Axial slice. Slice 109 of 155. Image width 240 mm.
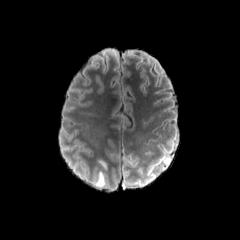
FLAIR MRI.
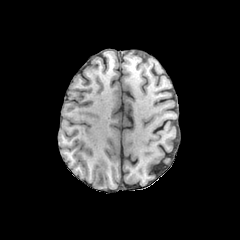
T1-weighted magnetic resonance.
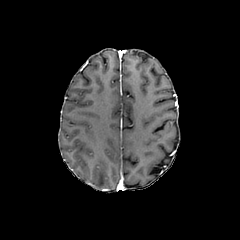
Post-contrast T1-weighted magnetic resonance.
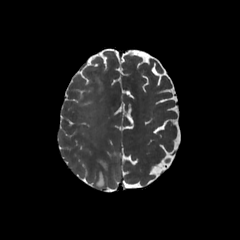
T2-weighted MRI.
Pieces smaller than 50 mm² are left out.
peritumoral edema: (left=95, top=172, right=104, bottom=186)